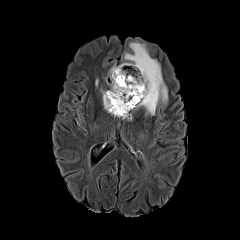
FLAIR MR.
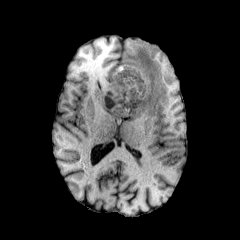
Same slice, T1-weighted MR.
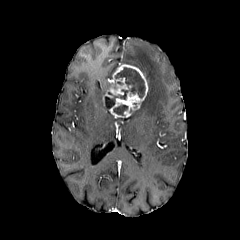
Post-contrast T1-weighted MRI.
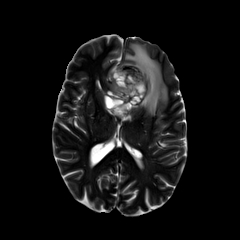
Same slice, T2-weighted MR.
Brain; Axial view
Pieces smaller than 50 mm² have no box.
enhancing tumor: [x1=103, y1=64, x2=148, y2=117] | peritumoral edema: [x1=123, y1=42, x2=167, y2=115] | necrotic tumor core: [x1=115, y1=67, x2=144, y2=99], [x1=113, y1=105, x2=127, y2=115], [x1=105, y1=96, x2=117, y2=110]